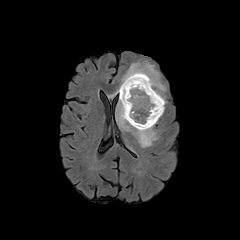
FLAIR MR image.
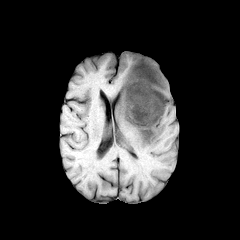
T1-weighted MR.
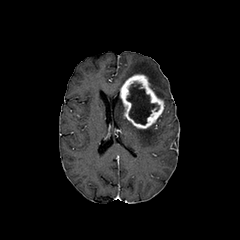
Same slice, post-contrast T1-weighted magnetic resonance.
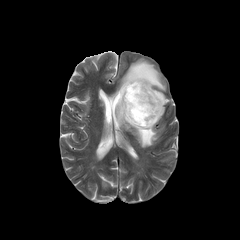
T2-weighted MR image.
Head.
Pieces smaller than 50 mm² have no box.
necrotic_tumor_core:
  - [x1=127, y1=83, x2=159, y2=124]
peritumoral_edema:
  - [x1=108, y1=60, x2=166, y2=104]
  - [x1=116, y1=97, x2=158, y2=147]
enhancing_tumor:
  - [x1=120, y1=74, x2=164, y2=128]